FLAIR MR.
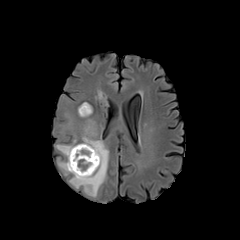
T1-weighted MRI.
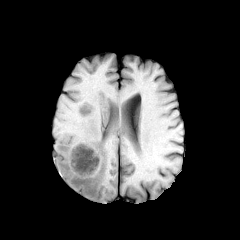
Post-contrast T1-weighted magnetic resonance.
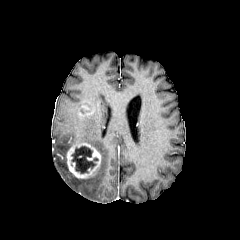
T2-weighted MR image.
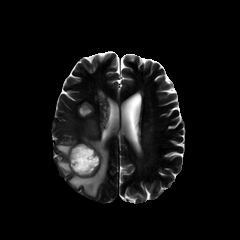
Brain; Image size 240x240; Axial view
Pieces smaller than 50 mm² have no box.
enhancing_tumor:
  - (79,105,92,116)
  - (67,143,100,178)
necrotic_tumor_core:
  - (71,146,98,173)
peritumoral_edema:
  - (57,158,70,175)
  - (69,120,108,197)
  - (56,139,76,157)